240x240 px. Slice 84 of 155.
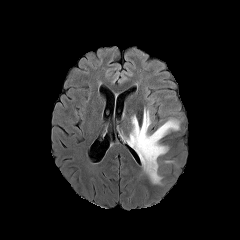
FLAIR MR.
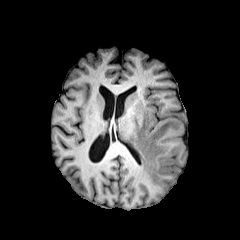
T1-weighted MR.
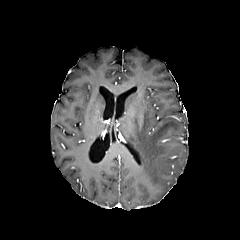
Post-contrast T1-weighted MR image.
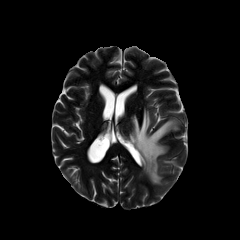
Same slice, T2-weighted MR image.
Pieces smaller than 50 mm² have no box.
The largest peritumoral edema region lies within x1=127, y1=108, x2=179, y2=184.